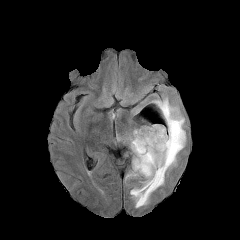
FLAIR MRI.
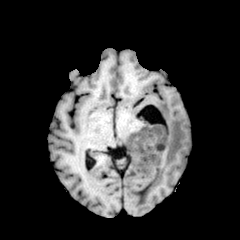
Same slice, T1-weighted MRI.
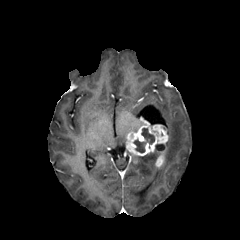
Post-contrast T1-weighted MRI of the same slice.
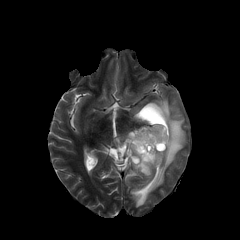
Same slice, T2-weighted MR.
Head. Axial slice.
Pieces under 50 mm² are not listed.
The 2 largest enhancing tumor regions are located at 126, 124, 168, 156; 155, 150, 164, 167. The necrotic tumor core appears at 133, 128, 154, 152. The largest peritumoral edema region lies within 125, 97, 185, 207.